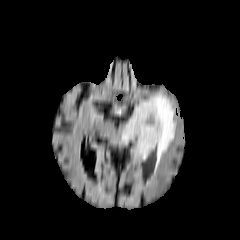
FLAIR magnetic resonance.
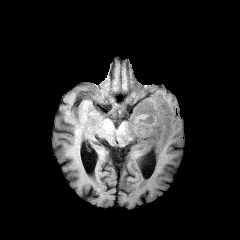
T1-weighted MRI.
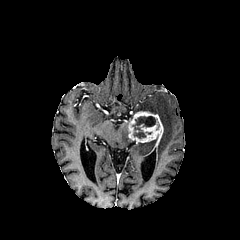
Post-contrast T1-weighted MRI.
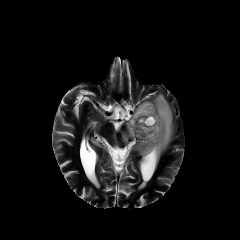
T2-weighted MRI of the same slice.
Axial slice. Brain.
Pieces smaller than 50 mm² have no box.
The largest necrotic tumor core region is at (x1=132, y1=116, x2=155, y2=138). The 3 largest peritumoral edema regions are located at (x1=133, y1=141, x2=155, y2=155), (x1=134, y1=93, x2=174, y2=164), (x1=121, y1=119, x2=130, y2=143). The enhancing tumor appears at (x1=128, y1=111, x2=163, y2=145).